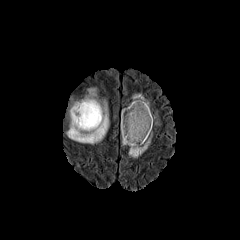
FLAIR MR.
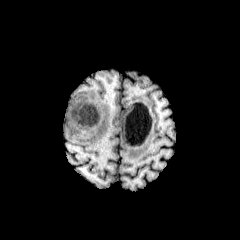
T1-weighted MR.
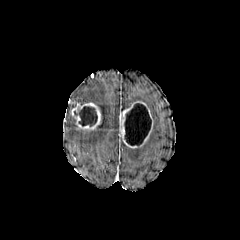
Post-contrast T1-weighted MRI.
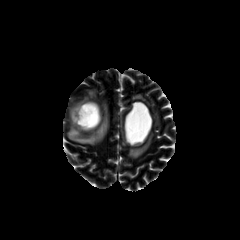
T2-weighted magnetic resonance.
240x240, Head
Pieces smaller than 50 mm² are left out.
The 2 largest necrotic tumor core regions are located at box(124, 103, 151, 145); box(79, 106, 97, 126). The 3 largest peritumoral edema regions appear at box(132, 94, 149, 108); box(67, 88, 109, 144); box(128, 132, 152, 158). 2 enhancing tumor regions are bounded by box(70, 102, 101, 130); box(120, 101, 153, 148).